Slice index 87; Head
FLAIR MR image.
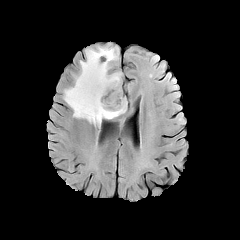
T1-weighted MR image.
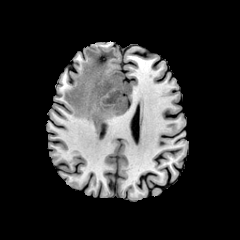
Post-contrast T1-weighted MR.
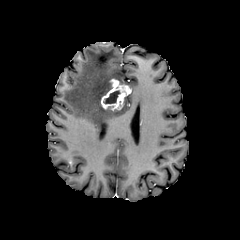
T2-weighted magnetic resonance.
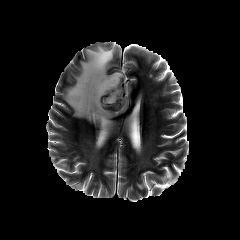
Findings:
• necrotic tumor core: l=104, t=91, r=119, b=103
• enhancing tumor: l=101, t=79, r=131, b=110
• peritumoral edema: l=63, t=46, r=127, b=126